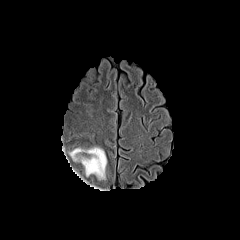
FLAIR MRI.
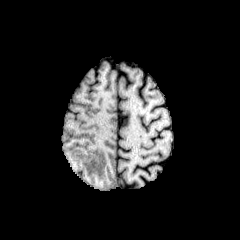
Same slice, T1-weighted MRI.
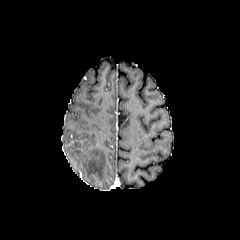
Post-contrast T1-weighted MRI of the same slice.
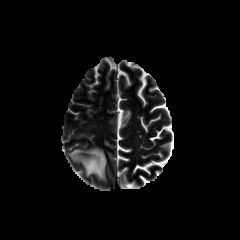
T2-weighted MRI.
Brain
peritumoral edema: bounding box [69, 147, 106, 179]